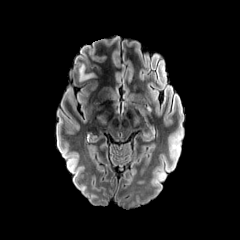
FLAIR MR.
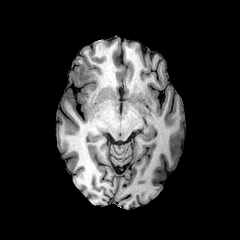
T1-weighted MR image of the same slice.
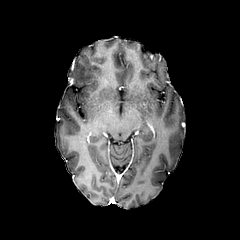
Post-contrast T1-weighted magnetic resonance.
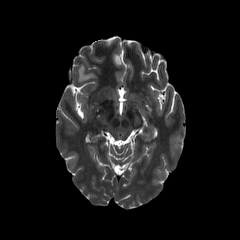
T2-weighted MR image.
Image size 240x240 | Axial slice
peritumoral_edema:
  - 79:64:93:81